Brain, Axial view, 240x240
FLAIR MRI.
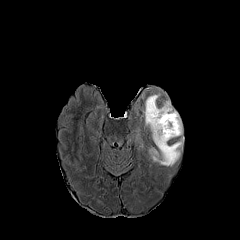
T1-weighted MR.
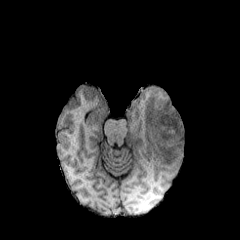
Post-contrast T1-weighted MRI.
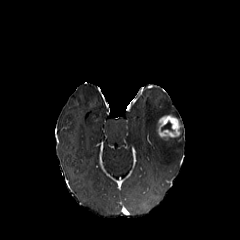
T2-weighted MR.
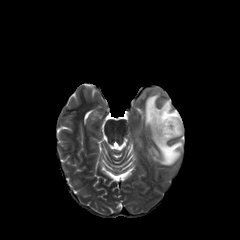
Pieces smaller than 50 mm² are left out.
Findings:
• enhancing tumor: <box>157,115,181,140</box>
• peritumoral edema: <box>143,93,183,165</box>
• necrotic tumor core: <box>161,122,172,131</box>